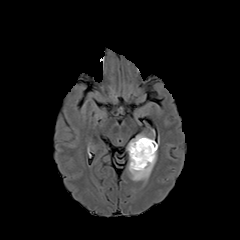
FLAIR magnetic resonance.
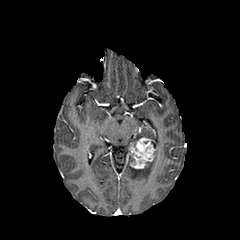
T1-weighted MR.
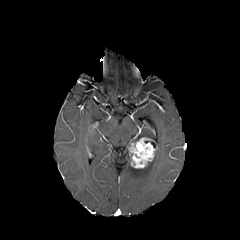
Same slice, post-contrast T1-weighted MR image.
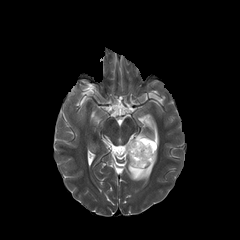
Same slice, T2-weighted MR image.
Head
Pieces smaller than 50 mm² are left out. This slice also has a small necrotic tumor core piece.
enhancing tumor: l=128, t=137, r=156, b=168 | peritumoral edema: l=127, t=143, r=158, b=180